240x240 | Image width 240 mm, 1.00 mm slice spacing | Slice 99/155 | Axial plane
FLAIR magnetic resonance.
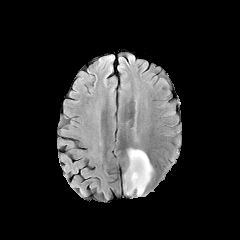
T1-weighted MRI.
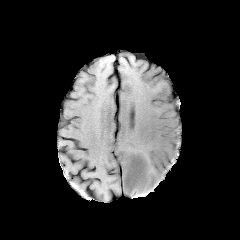
Post-contrast T1-weighted magnetic resonance.
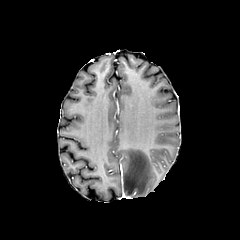
T2-weighted magnetic resonance.
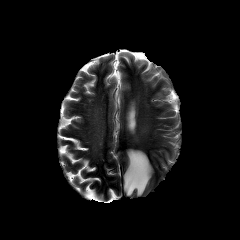
peritumoral edema: bounding box 124,148,152,196